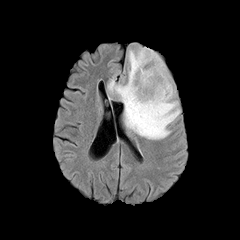
FLAIR MR.
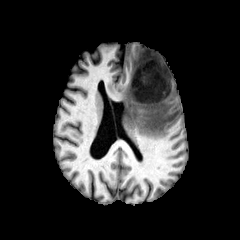
Same slice, T1-weighted MR image.
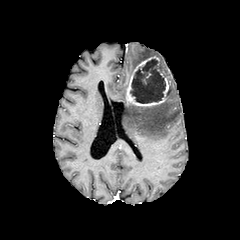
Post-contrast T1-weighted MR image.
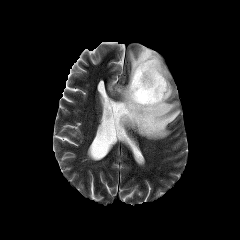
Same slice, T2-weighted magnetic resonance.
Head
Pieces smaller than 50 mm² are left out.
necrotic tumor core: [130,59,165,103] | peritumoral edema: [108,47,180,139] | enhancing tumor: [126,56,170,106]